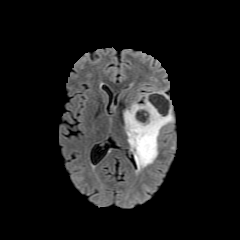
FLAIR MR image.
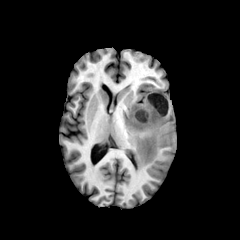
T1-weighted magnetic resonance.
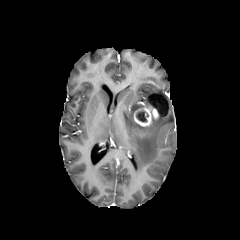
Post-contrast T1-weighted MR.
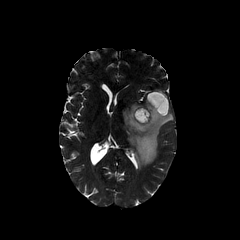
T2-weighted magnetic resonance of the same slice.
240x240 | Axial slice
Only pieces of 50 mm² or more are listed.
<segmentation>
  <necrotic_tumor_core>box(136, 110, 146, 121)</necrotic_tumor_core>
  <peritumoral_edema>box(123, 91, 173, 170)</peritumoral_edema>
  <enhancing_tumor>box(134, 106, 158, 126)</enhancing_tumor>
</segmentation>